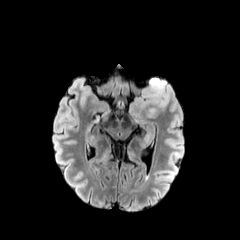
FLAIR MR.
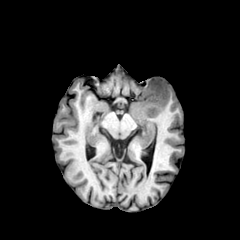
T1-weighted magnetic resonance.
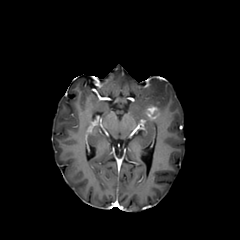
Post-contrast T1-weighted MRI of the same slice.
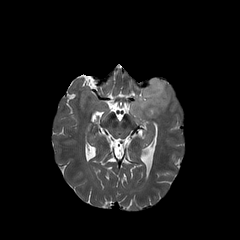
Same slice, T2-weighted MR.
Head
peritumoral edema: rect(130, 78, 170, 121) | enhancing tumor: rect(146, 106, 159, 118)